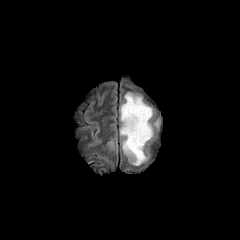
FLAIR MR.
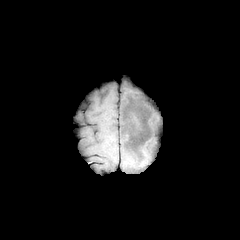
T1-weighted magnetic resonance of the same slice.
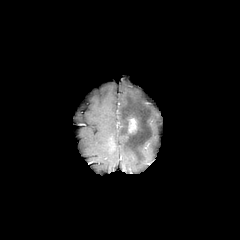
Post-contrast T1-weighted magnetic resonance.
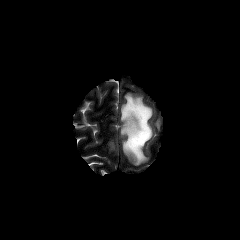
T2-weighted MR.
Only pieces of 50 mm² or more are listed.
peritumoral edema: bbox=[120, 92, 153, 165] | enhancing tumor: bbox=[128, 118, 136, 132]